Brain.
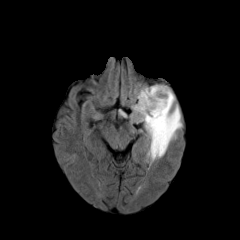
FLAIR MR image.
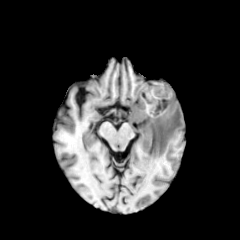
T1-weighted MR image.
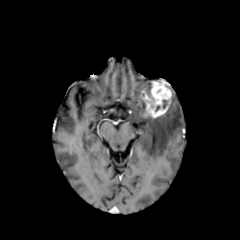
Post-contrast T1-weighted MR of the same slice.
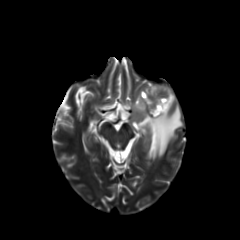
T2-weighted MR image of the same slice.
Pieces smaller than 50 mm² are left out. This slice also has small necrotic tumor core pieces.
{
  "enhancing_tumor": [
    "<bbox>140, 80, 172, 118</bbox>"
  ],
  "peritumoral_edema": [
    "<bbox>131, 86, 181, 158</bbox>",
    "<bbox>145, 84, 152, 94</bbox>"
  ]
}